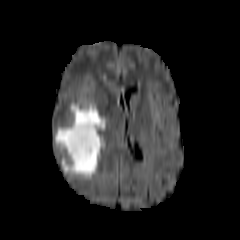
FLAIR MR image.
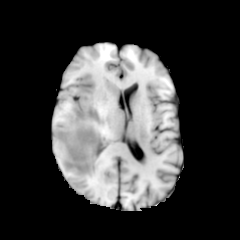
T1-weighted MRI.
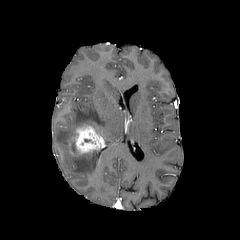
Same slice, post-contrast T1-weighted MR image.
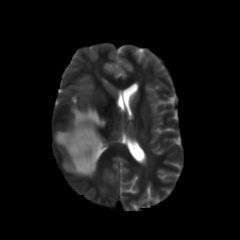
T2-weighted MR.
Axial slice | Image size 240x240 | Head
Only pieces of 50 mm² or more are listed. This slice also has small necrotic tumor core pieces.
peritumoral edema: [x1=54, y1=103, x2=105, y2=179]
enhancing tumor: [x1=68, y1=123, x2=99, y2=156]